Head
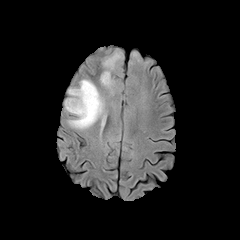
FLAIR MR.
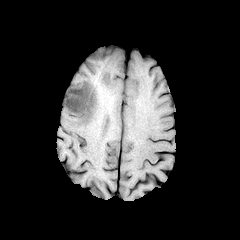
T1-weighted MRI.
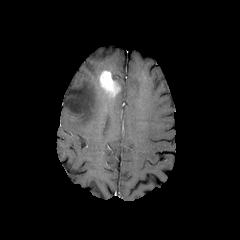
Post-contrast T1-weighted magnetic resonance.
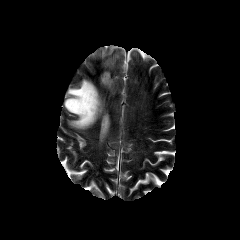
T2-weighted MR image.
peritumoral_edema:
  - box=[64, 79, 106, 129]
  - box=[103, 52, 122, 71]
enhancing_tumor:
  - box=[100, 70, 120, 95]